Axial plane; Image width 240 mm
FLAIR MR image.
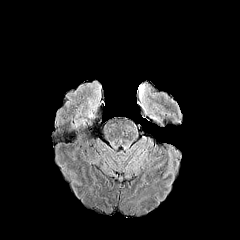
T1-weighted MR image.
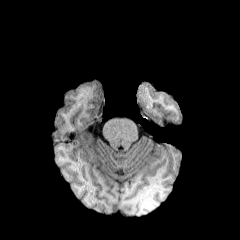
Post-contrast T1-weighted MRI.
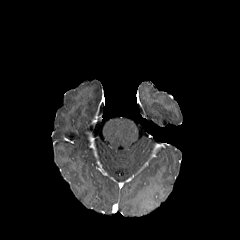
T2-weighted MR image.
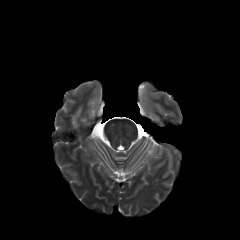
peritumoral edema = 139:84:145:109